Head. 240x240 px. Image width 240 mm.
FLAIR MR.
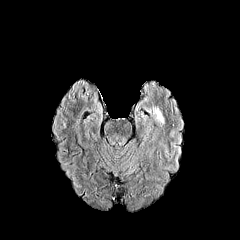
T1-weighted MR image.
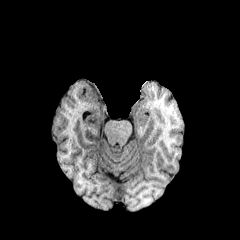
Post-contrast T1-weighted MR image.
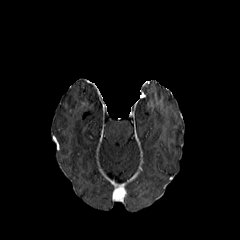
T2-weighted MR image.
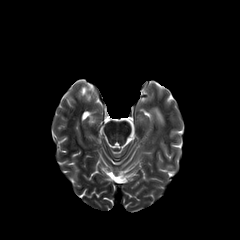
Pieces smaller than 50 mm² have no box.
peritumoral edema: bounding box bbox=[153, 107, 164, 125]